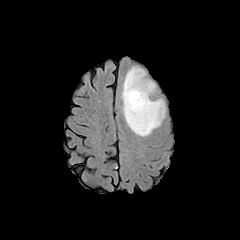
FLAIR MRI.
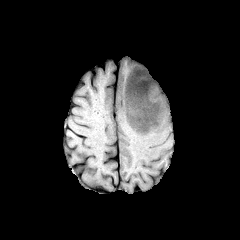
Same slice, T1-weighted MR.
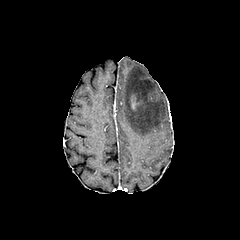
Post-contrast T1-weighted MRI.
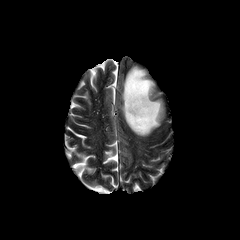
T2-weighted magnetic resonance.
Axial view
The peritumoral edema is located at {"x1": 121, "y1": 67, "x2": 164, "y2": 136}. The enhancing tumor is at {"x1": 131, "y1": 98, "x2": 138, "y2": 108}.